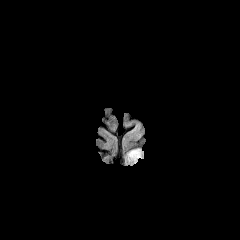
FLAIR magnetic resonance.
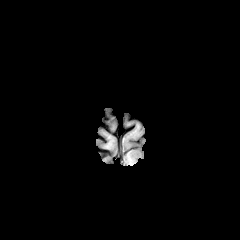
T1-weighted magnetic resonance.
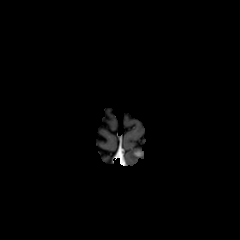
Post-contrast T1-weighted MRI of the same slice.
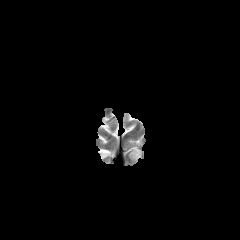
T2-weighted MR.
240x240, Axial slice
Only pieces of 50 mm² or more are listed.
enhancing tumor: (x1=134, y1=150, x2=142, y2=156) | peritumoral edema: (x1=125, y1=149, x2=141, y2=165)